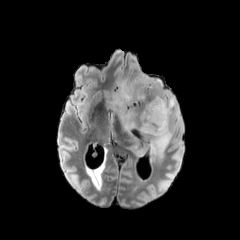
FLAIR magnetic resonance.
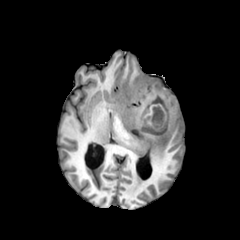
Same slice, T1-weighted MR image.
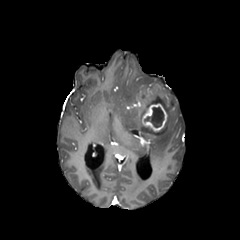
Post-contrast T1-weighted MR image.
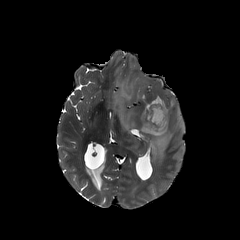
T2-weighted MR of the same slice.
Axial view, 240x240
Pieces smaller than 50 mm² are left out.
necrotic_tumor_core:
  - bbox(144, 107, 164, 127)
peritumoral_edema:
  - bbox(110, 75, 181, 158)
enhancing_tumor:
  - bbox(142, 103, 167, 131)